FLAIR MR image.
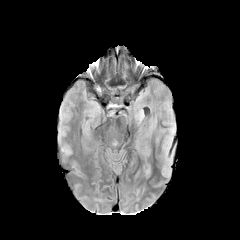
T1-weighted MRI.
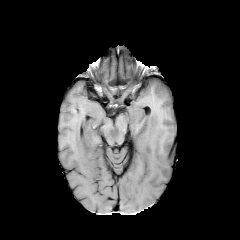
Post-contrast T1-weighted magnetic resonance.
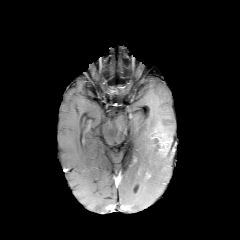
T2-weighted MR.
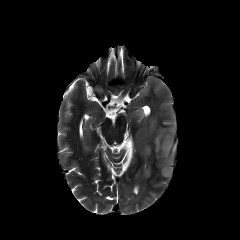
240x240; Head
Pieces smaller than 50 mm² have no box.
The 2 largest peritumoral edema regions are located at <box>163,128,174,143</box>, <box>162,164,170,176</box>. The largest enhancing tumor region lies within <box>162,140,170,153</box>.